FLAIR MR.
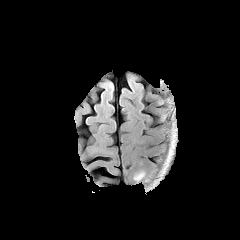
T1-weighted MR image.
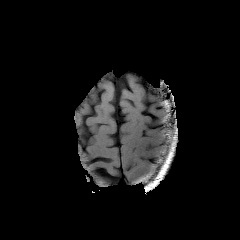
Post-contrast T1-weighted MR.
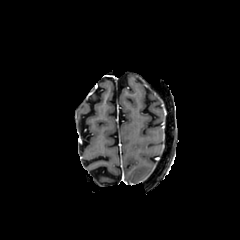
T2-weighted MR image.
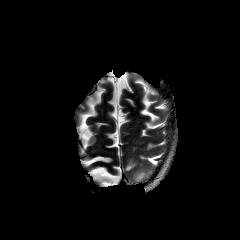
The peritumoral edema appears at [134,171,144,180].